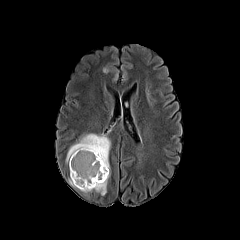
FLAIR MR image.
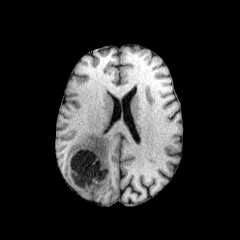
T1-weighted magnetic resonance.
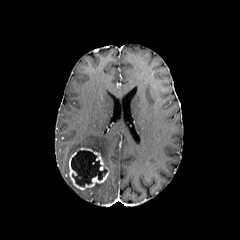
Post-contrast T1-weighted MRI.
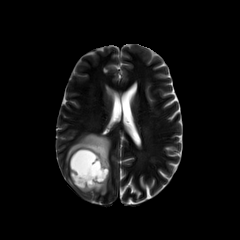
T2-weighted MRI.
Axial plane. 240x240. Brain.
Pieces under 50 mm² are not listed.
{"peritumoral_edema": ["x1=80, y1=172, x2=110, y2=195", "x1=66, y1=133, x2=110, y2=170"], "enhancing_tumor": ["x1=69, y1=148, x2=109, y2=190"], "necrotic_tumor_core": ["x1=71, y1=150, x2=107, y2=186"]}